FLAIR MR image.
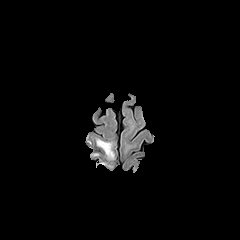
T1-weighted MRI.
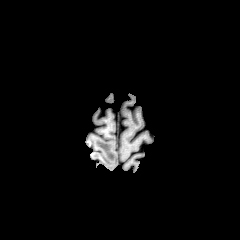
Post-contrast T1-weighted MRI.
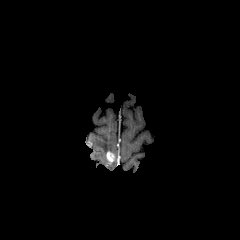
T2-weighted MR image.
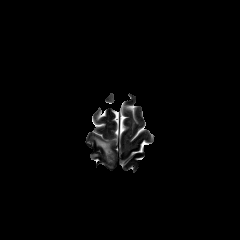
Brain | Axial view
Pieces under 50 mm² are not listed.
The largest peritumoral edema region is located at {"x1": 95, "y1": 138, "x2": 113, "y2": 156}. The enhancing tumor is bounded by {"x1": 106, "y1": 151, "x2": 114, "y2": 163}.